Image width 240 mm, 1.00 mm slice spacing, Axial slice, Brain
FLAIR MR image.
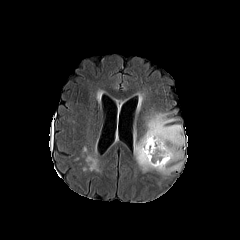
T1-weighted MRI.
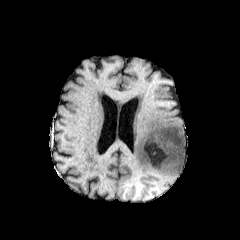
Post-contrast T1-weighted MR.
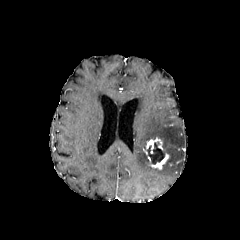
T2-weighted magnetic resonance.
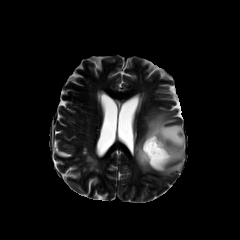
enhancing tumor — [x1=143, y1=137, x2=169, y2=169]
peritumoral edema — [x1=134, y1=112, x2=184, y2=175]
necrotic tumor core — [x1=147, y1=142, x2=165, y2=164]